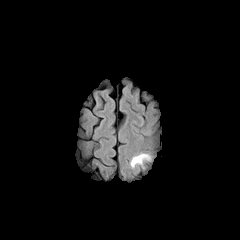
FLAIR MRI.
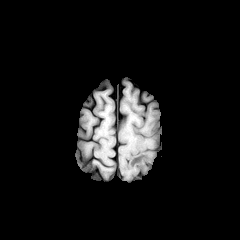
T1-weighted MR image of the same slice.
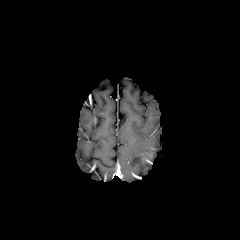
Post-contrast T1-weighted magnetic resonance.
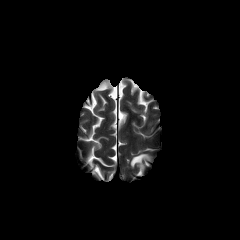
Same slice, T2-weighted MR image.
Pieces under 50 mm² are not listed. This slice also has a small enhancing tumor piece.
The peritumoral edema is bounded by 130,153,150,168.